FLAIR MRI.
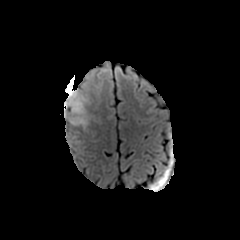
T1-weighted magnetic resonance.
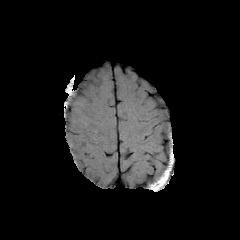
Post-contrast T1-weighted MRI.
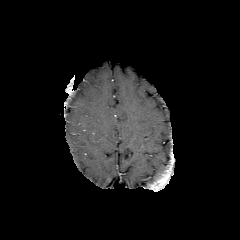
T2-weighted MRI.
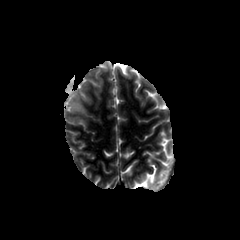
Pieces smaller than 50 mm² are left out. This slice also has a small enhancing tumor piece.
The largest peritumoral edema region lies within (64,84,99,128).